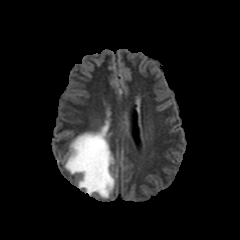
FLAIR MRI.
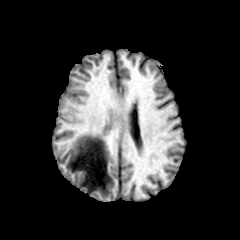
Same slice, T1-weighted MRI.
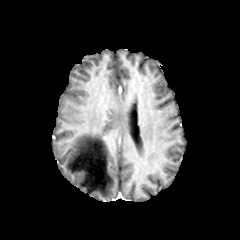
Post-contrast T1-weighted magnetic resonance of the same slice.
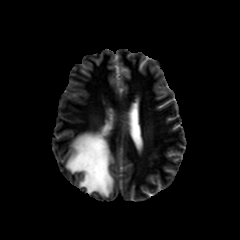
T2-weighted magnetic resonance of the same slice.
Image size 240x240
Segmented structures:
- peritumoral edema: <bbox>65, 120, 114, 198</bbox>